FLAIR MRI.
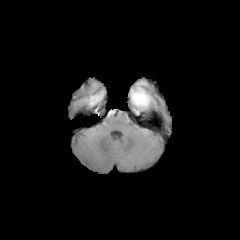
T1-weighted MRI.
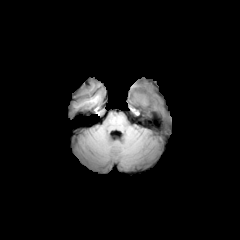
Post-contrast T1-weighted MR image.
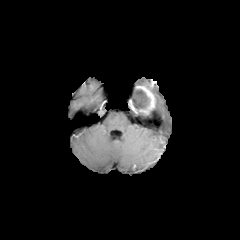
T2-weighted MR.
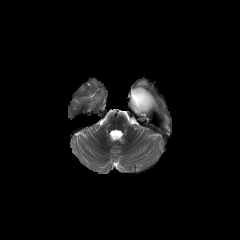
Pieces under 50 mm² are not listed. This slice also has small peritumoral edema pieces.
enhancing_tumor:
  - <bbox>129, 86, 155, 113</bbox>
necrotic_tumor_core:
  - <bbox>133, 89, 149, 108</bbox>